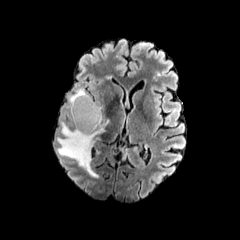
FLAIR magnetic resonance.
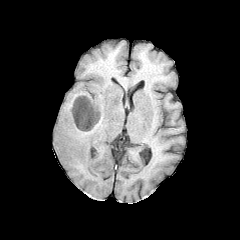
T1-weighted MR image of the same slice.
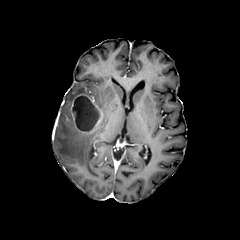
Post-contrast T1-weighted MR image.
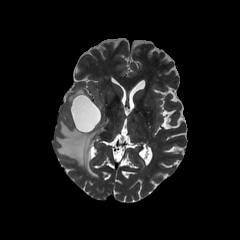
T2-weighted MR.
Axial plane
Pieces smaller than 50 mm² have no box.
peritumoral_edema:
  - rect(66, 88, 88, 123)
  - rect(57, 119, 109, 177)
necrotic_tumor_core:
  - rect(72, 96, 99, 131)
enhancing_tumor:
  - rect(70, 94, 102, 133)